Slice 52 of 155, Brain
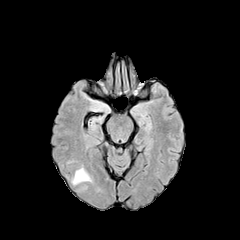
FLAIR MR image.
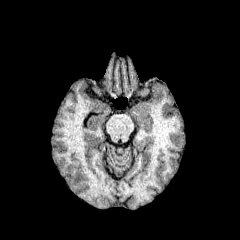
T1-weighted MR of the same slice.
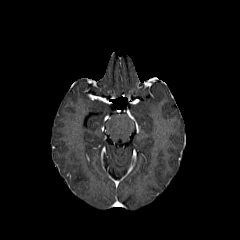
Post-contrast T1-weighted magnetic resonance.
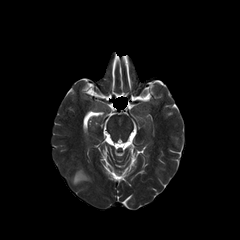
T2-weighted MRI.
peritumoral edema: bounding box 72 168 91 184